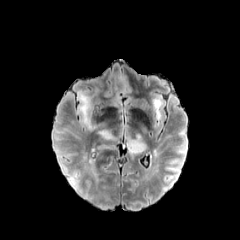
FLAIR MR.
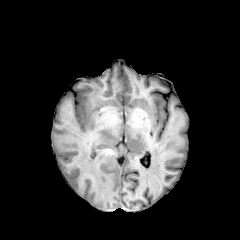
T1-weighted MR image.
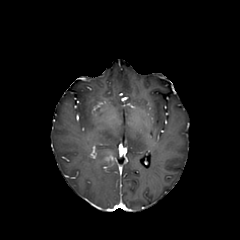
Same slice, post-contrast T1-weighted MRI.
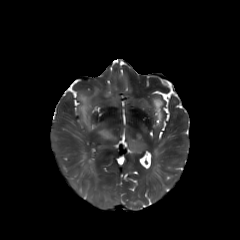
T2-weighted magnetic resonance.
Head
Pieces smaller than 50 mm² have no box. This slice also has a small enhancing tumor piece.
Findings:
- peritumoral edema: {"x1": 125, "y1": 128, "x2": 145, "y2": 153}, {"x1": 78, "y1": 93, "x2": 95, "y2": 130}, {"x1": 98, "y1": 129, "x2": 115, "y2": 139}, {"x1": 154, "y1": 99, "x2": 161, "y2": 119}